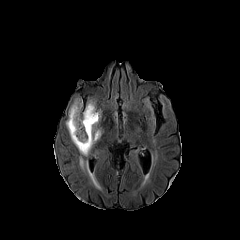
FLAIR magnetic resonance.
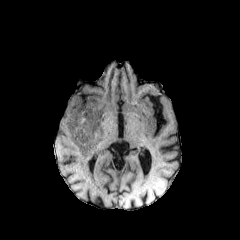
T1-weighted MR of the same slice.
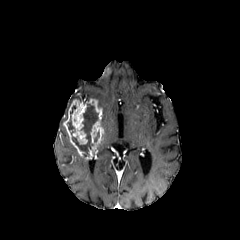
Post-contrast T1-weighted MRI.
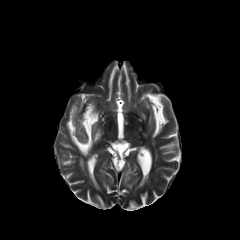
T2-weighted magnetic resonance.
Head | 240x240 | Axial plane
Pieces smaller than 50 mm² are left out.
The 2 largest necrotic tumor core regions are located at {"x1": 72, "y1": 103, "x2": 98, "y2": 156}, {"x1": 68, "y1": 105, "x2": 76, "y2": 134}. The peritumoral edema lies within {"x1": 79, "y1": 157, "x2": 100, "y2": 188}. The enhancing tumor lies within {"x1": 63, "y1": 99, "x2": 103, "y2": 159}.